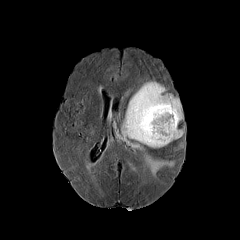
FLAIR magnetic resonance.
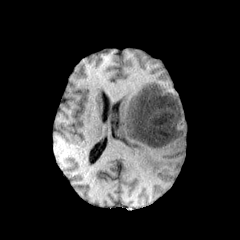
T1-weighted MR.
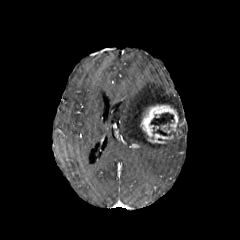
Post-contrast T1-weighted MRI.
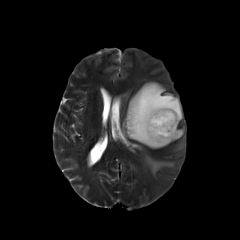
T2-weighted MRI.
240x240. Axial slice. Head.
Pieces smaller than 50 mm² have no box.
Annotated regions:
* enhancing tumor: (left=140, top=104, right=182, bottom=144)
* peritumoral edema: (left=121, top=81, right=183, bottom=178)
* necrotic tumor core: (left=150, top=113, right=173, bottom=125), (left=154, top=129, right=175, bottom=138)